FLAIR magnetic resonance.
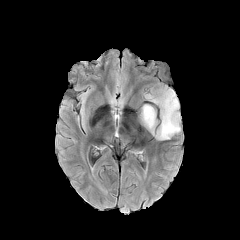
T1-weighted MR image.
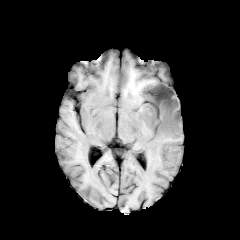
Post-contrast T1-weighted magnetic resonance.
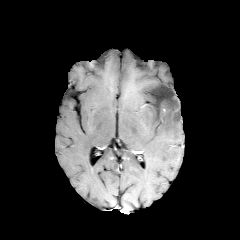
T2-weighted magnetic resonance.
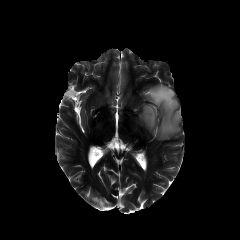
Head. Axial view.
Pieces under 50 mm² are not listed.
<segmentation>
  <peritumoral_edema>140:88:180:140</peritumoral_edema>
  <necrotic_tumor_core>151:86:175:107</necrotic_tumor_core>
</segmentation>